240x240, Slice 48 of 155, Brain
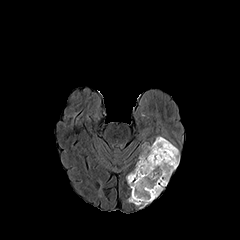
FLAIR MRI.
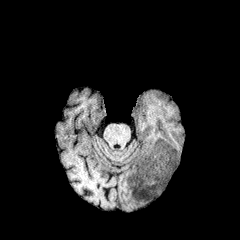
T1-weighted MR image.
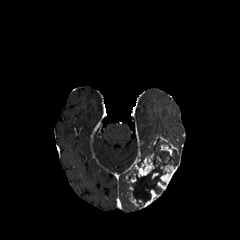
Post-contrast T1-weighted magnetic resonance.
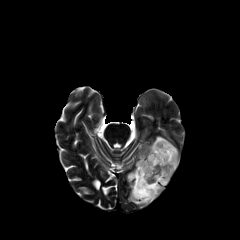
T2-weighted magnetic resonance.
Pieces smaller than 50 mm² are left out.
Findings:
- peritumoral edema: bbox=[139, 143, 152, 156]
- necrotic tumor core: bbox=[129, 138, 179, 206]
- enhancing tumor: bbox=[140, 189, 160, 208]; bbox=[129, 185, 138, 206]; bbox=[126, 153, 154, 184]; bbox=[157, 164, 178, 191]; bbox=[153, 136, 178, 156]